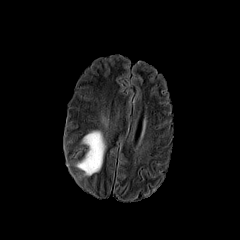
FLAIR MR.
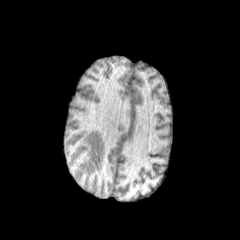
T1-weighted MR image.
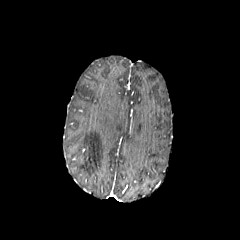
Post-contrast T1-weighted magnetic resonance.
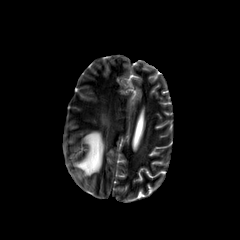
Same slice, T2-weighted MR image.
Axial slice; Brain
Findings:
• peritumoral edema: (left=76, top=129, right=106, bottom=175)